FLAIR magnetic resonance.
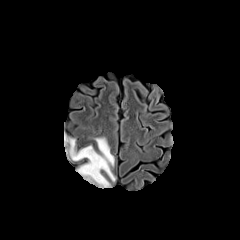
T1-weighted MRI.
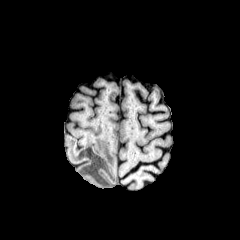
Post-contrast T1-weighted magnetic resonance.
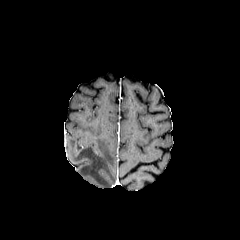
T2-weighted MR image.
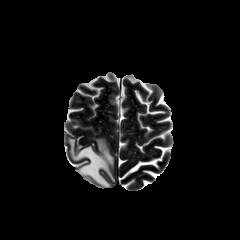
Axial view, 240x240 px
peritumoral edema — region(67, 138, 115, 187)